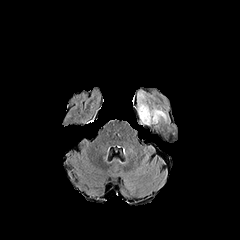
FLAIR MR image.
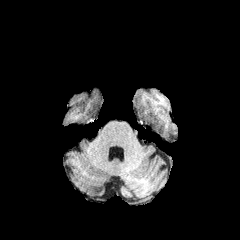
T1-weighted MR of the same slice.
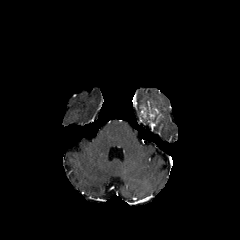
Same slice, post-contrast T1-weighted MRI.
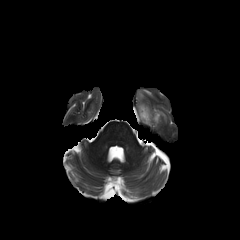
T2-weighted MR image of the same slice.
Head
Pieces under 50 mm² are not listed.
2 enhancing tumor regions appear at [147, 107, 161, 125], [140, 105, 147, 121]. 2 peritumoral edema regions are located at [138, 91, 147, 113], [159, 109, 167, 121]. The largest necrotic tumor core region is located at [141, 107, 150, 124].